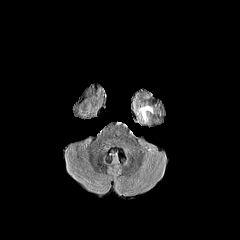
FLAIR magnetic resonance.
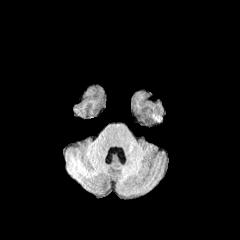
T1-weighted MR image.
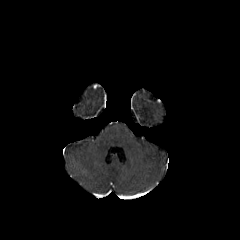
Post-contrast T1-weighted MR.
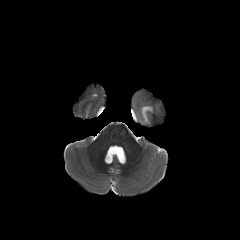
Same slice, T2-weighted magnetic resonance.
Axial plane. Image size 240x240. Brain.
The peritumoral edema is located at x1=136 y1=105 x2=153 y2=122.